Brain, 240x240 px, Axial plane
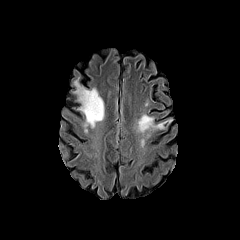
FLAIR MR.
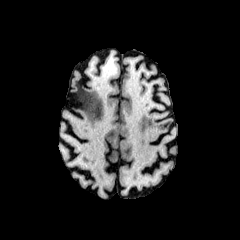
T1-weighted MR of the same slice.
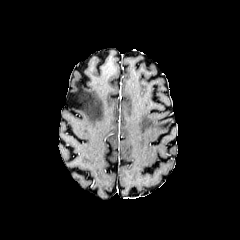
Same slice, post-contrast T1-weighted MR.
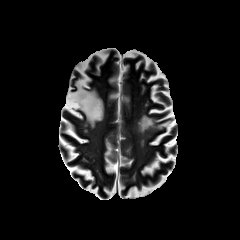
T2-weighted MRI.
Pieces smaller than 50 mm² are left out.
peritumoral edema = left=137, top=113, right=167, bottom=132; left=72, top=77, right=104, bottom=129